Axial view | Slice index 125 | Head
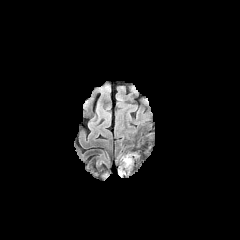
FLAIR MR.
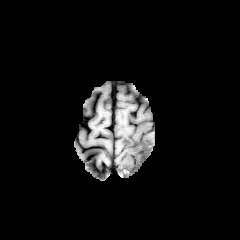
T1-weighted MRI of the same slice.
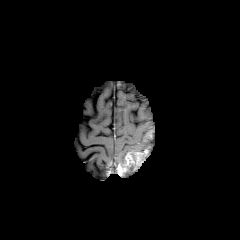
Post-contrast T1-weighted MR image of the same slice.
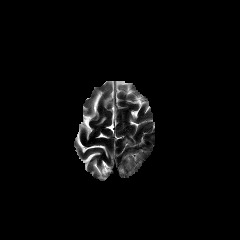
T2-weighted magnetic resonance.
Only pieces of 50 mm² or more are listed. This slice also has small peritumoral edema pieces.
The enhancing tumor appears at rect(120, 150, 147, 173).